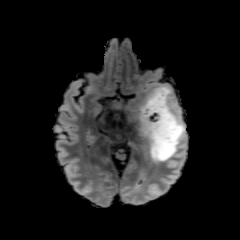
FLAIR MR.
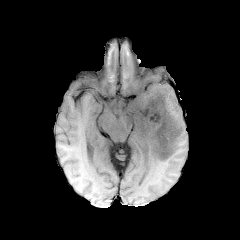
T1-weighted MR.
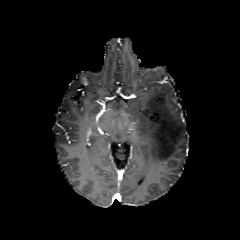
Post-contrast T1-weighted MRI.
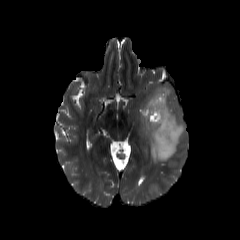
T2-weighted MR.
peritumoral edema — [138,85,186,162]